FLAIR MR.
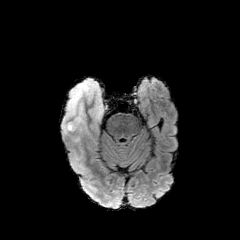
T1-weighted MR image.
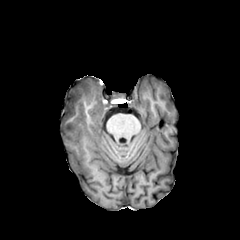
Post-contrast T1-weighted MRI.
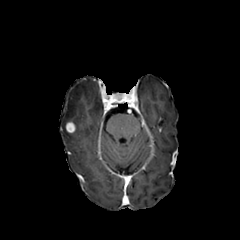
T2-weighted magnetic resonance.
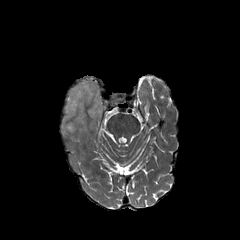
Head
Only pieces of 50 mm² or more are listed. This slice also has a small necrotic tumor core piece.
The peritumoral edema is at x1=62 y1=77 x2=104 y2=140. The enhancing tumor is bounded by x1=65 y1=122 x2=75 y2=132.